Head. 240x240 px.
FLAIR magnetic resonance.
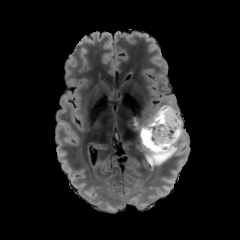
T1-weighted MR.
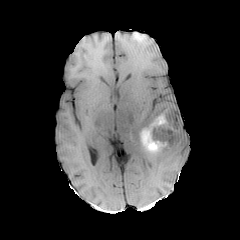
Post-contrast T1-weighted MR.
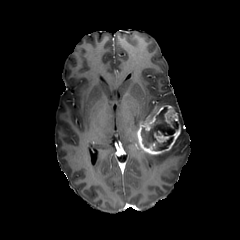
T2-weighted MR image.
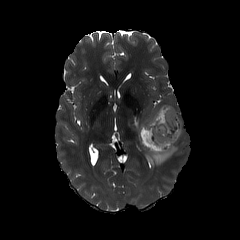
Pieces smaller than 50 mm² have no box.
The necrotic tumor core is bounded by (142, 109, 178, 150). 2 enhancing tumor regions are located at (154, 131, 170, 142), (136, 105, 181, 154). The 2 largest peritumoral edema regions appear at (143, 128, 184, 165), (134, 120, 141, 143).